Head | Slice index 97
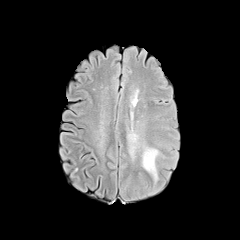
FLAIR MR image.
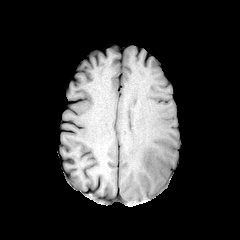
Same slice, T1-weighted MR.
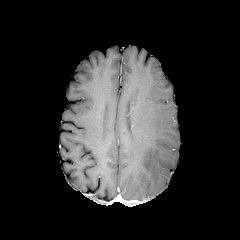
Same slice, post-contrast T1-weighted MRI.
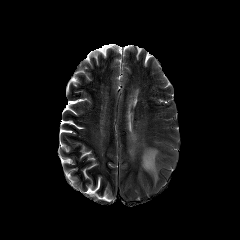
T2-weighted magnetic resonance.
The peritumoral edema is bounded by 125, 133, 159, 181.